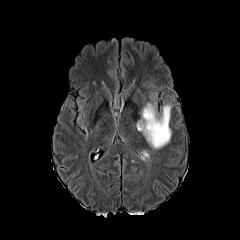
FLAIR MRI.
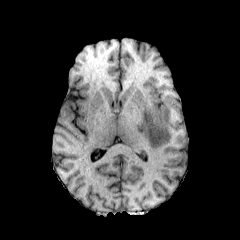
T1-weighted MR image of the same slice.
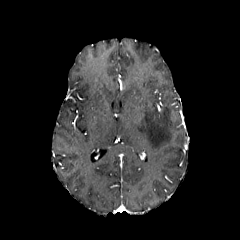
Post-contrast T1-weighted magnetic resonance.
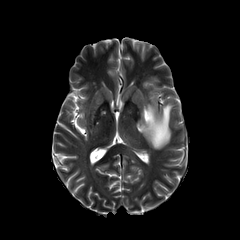
T2-weighted MRI.
Image size 240x240; Head
The peritumoral edema is located at 136, 91, 177, 151.